FLAIR MR.
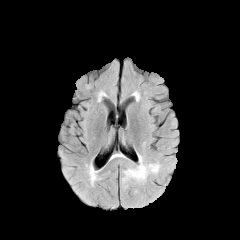
T1-weighted magnetic resonance.
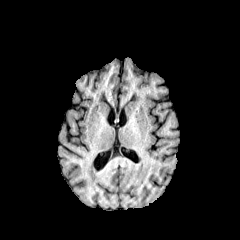
Post-contrast T1-weighted MRI.
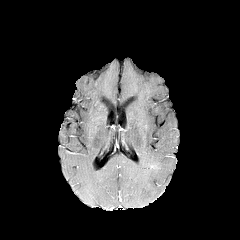
T2-weighted MRI.
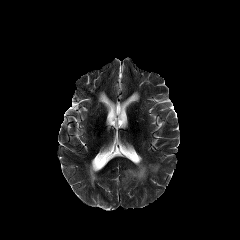
Brain | 240x240 | Axial view
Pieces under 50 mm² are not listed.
Annotated regions:
- peritumoral edema: box=[122, 155, 160, 182]